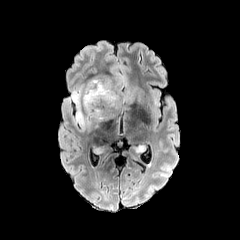
FLAIR MR image.
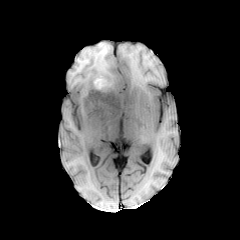
Same slice, T1-weighted magnetic resonance.
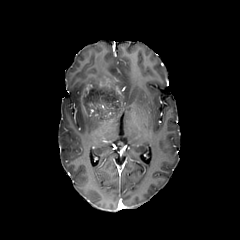
Post-contrast T1-weighted MR.
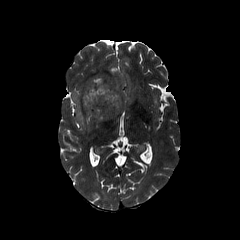
T2-weighted MR image.
Image size 240x240
{
  "enhancing_tumor": [
    "<bbox>97, 79, 109, 87</bbox>"
  ],
  "peritumoral_edema": [
    "<bbox>72, 75, 143, 131</bbox>"
  ]
}